FLAIR MR image.
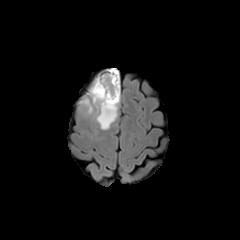
T1-weighted magnetic resonance.
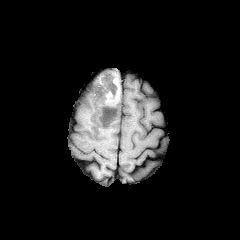
Post-contrast T1-weighted MRI.
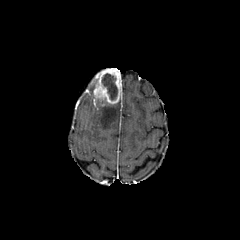
T2-weighted MR.
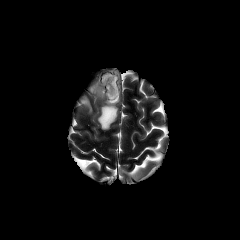
Head | Axial view
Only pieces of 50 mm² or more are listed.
The enhancing tumor appears at [93,69,119,105]. The necrotic tumor core appears at [102,73,117,100]. The 2 largest peritumoral edema regions appear at [81,98,92,113], [94,101,119,129].